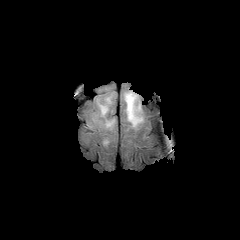
FLAIR MRI.
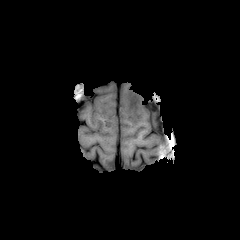
T1-weighted MR.
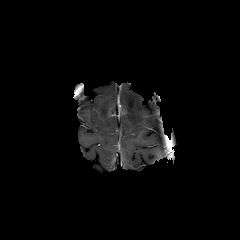
Post-contrast T1-weighted MR.
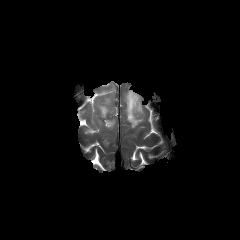
T2-weighted MR of the same slice.
3 peritumoral edema regions are bounded by box(104, 119, 114, 128); box(124, 90, 143, 128); box(99, 97, 110, 116).